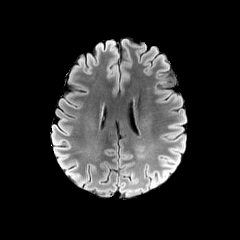
FLAIR MR image.
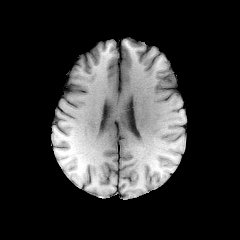
T1-weighted MR.
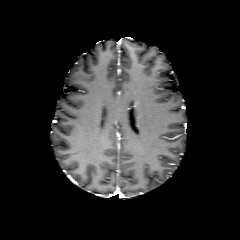
Post-contrast T1-weighted MR of the same slice.
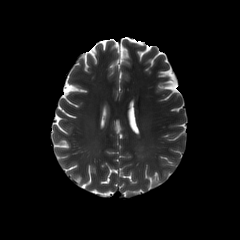
T2-weighted magnetic resonance.
240x240 px, Brain
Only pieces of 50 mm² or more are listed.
peritumoral edema: bounding box 160,158,171,168